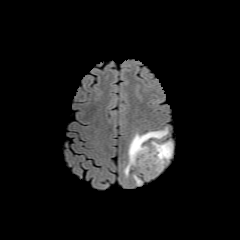
FLAIR magnetic resonance.
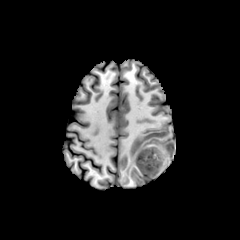
T1-weighted MR of the same slice.
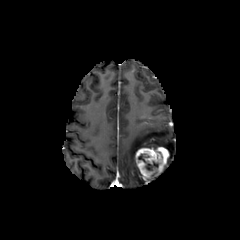
Post-contrast T1-weighted MR.
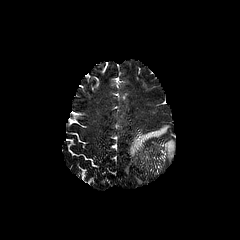
T2-weighted MR image of the same slice.
Axial plane; Brain
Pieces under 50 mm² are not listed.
necrotic tumor core: bounding box bbox(146, 162, 158, 170)
enhancing tumor: bounding box bbox(135, 144, 169, 179)
peritumoral edema: bounding box bbox(152, 141, 173, 161); bbox(124, 127, 167, 176)